FLAIR MR image.
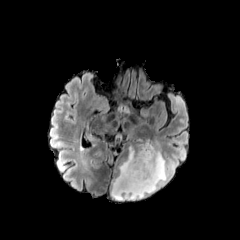
T1-weighted MRI.
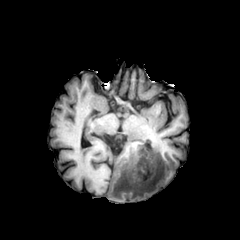
Post-contrast T1-weighted MR image.
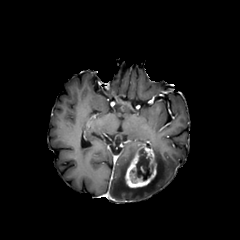
T2-weighted MR.
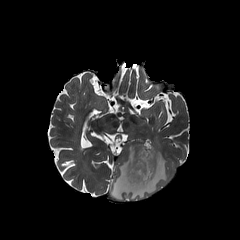
Brain, Axial plane
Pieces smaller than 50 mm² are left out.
The necrotic tumor core lies within region(129, 148, 153, 183). The largest peritumoral edema region appears at region(110, 142, 169, 200). The largest enhancing tumor region is located at region(125, 144, 156, 188).